FLAIR MRI.
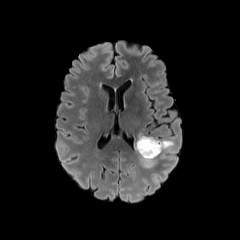
T1-weighted MR.
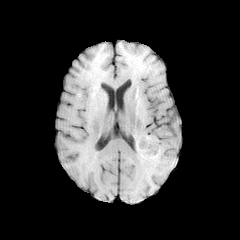
Post-contrast T1-weighted magnetic resonance.
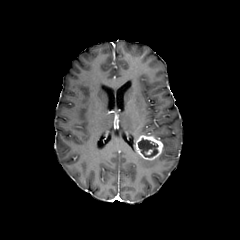
T2-weighted MRI.
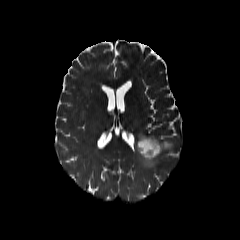
Head
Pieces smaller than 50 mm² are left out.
necrotic tumor core at 138 138 158 157
enhancing tumor at 135 135 163 160
peritumoral edema at 160 140 173 157, 137 153 156 168